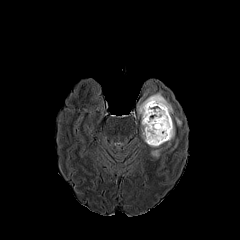
FLAIR MR image.
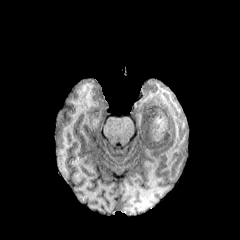
Same slice, T1-weighted magnetic resonance.
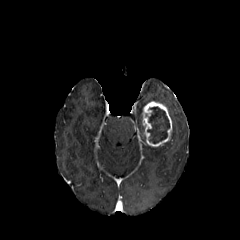
Same slice, post-contrast T1-weighted MR.
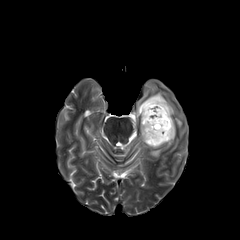
T2-weighted MR image.
240x240 | Axial plane | Brain
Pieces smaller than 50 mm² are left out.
<segmentation>
  <enhancing_tumor>box=[142, 101, 172, 147]</enhancing_tumor>
  <peritumoral_edema>box=[137, 81, 185, 157]</peritumoral_edema>
  <necrotic_tumor_core>box=[147, 107, 169, 143]</necrotic_tumor_core>
</segmentation>